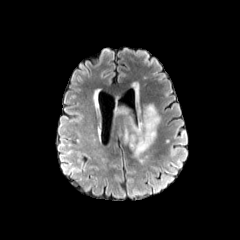
FLAIR MRI.
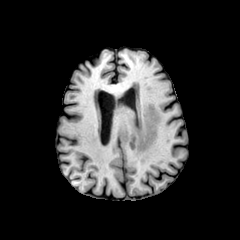
Same slice, T1-weighted MR image.
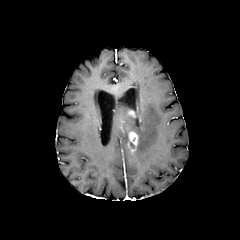
Same slice, post-contrast T1-weighted MR.
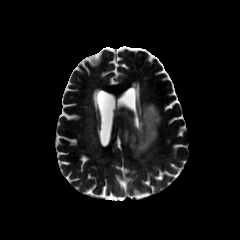
T2-weighted MR of the same slice.
Axial slice | Brain | 240x240
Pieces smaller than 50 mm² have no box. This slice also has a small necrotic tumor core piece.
The 2 largest enhancing tumor regions appear at (128, 130, 137, 154), (127, 109, 135, 119). The peritumoral edema is located at (117, 90, 160, 155).